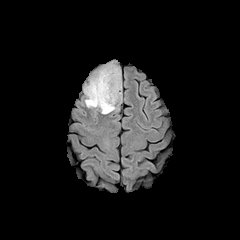
FLAIR magnetic resonance.
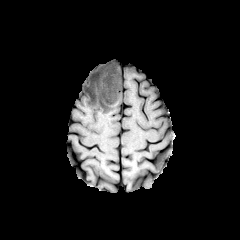
T1-weighted MR of the same slice.
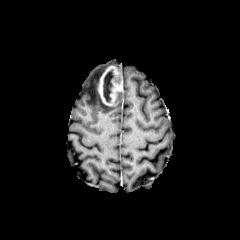
Post-contrast T1-weighted magnetic resonance.
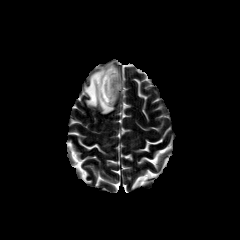
T2-weighted MR image.
Head; Axial slice
necrotic_tumor_core:
  - x1=103, y1=69, x2=113, y2=102
enhancing_tumor:
  - x1=97, y1=66, x2=122, y2=105
peritumoral_edema:
  - x1=83, y1=61, x2=121, y2=114